Brain. Slice index 60.
FLAIR MRI.
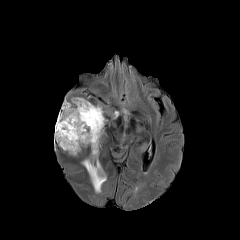
T1-weighted MR image.
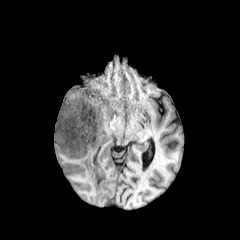
Post-contrast T1-weighted MR.
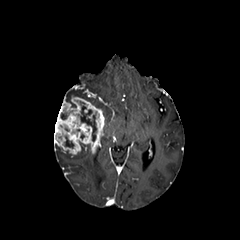
T2-weighted MR.
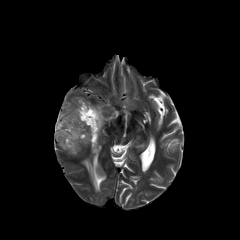
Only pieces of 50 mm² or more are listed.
enhancing_tumor:
  - <box>54,97,104,155</box>
peritumoral_edema:
  - <box>82,159,106,192</box>
  - <box>65,88,82,107</box>
necrotic_tumor_core:
  - <box>80,105,96,141</box>
  - <box>65,136,73,147</box>